Brain; 240x240 px
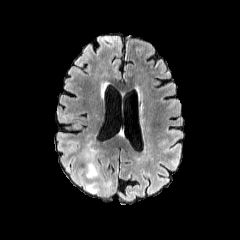
FLAIR MRI.
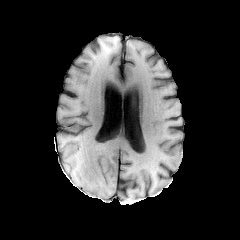
T1-weighted MR image.
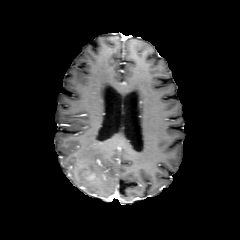
Post-contrast T1-weighted MR image.
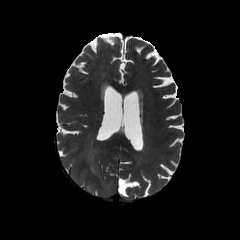
T2-weighted magnetic resonance.
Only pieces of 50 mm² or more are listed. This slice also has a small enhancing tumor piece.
{
  "peritumoral_edema": [
    "l=84, t=148, r=99, b=179",
    "l=73, t=177, r=98, b=193"
  ]
}